FLAIR MR image.
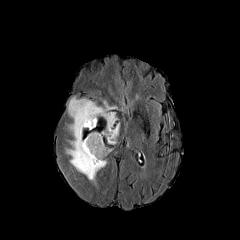
T1-weighted MR.
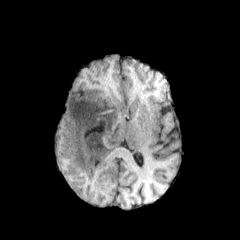
Post-contrast T1-weighted MRI.
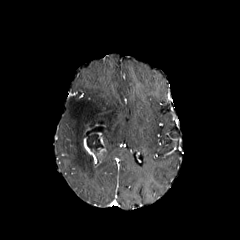
T2-weighted MRI.
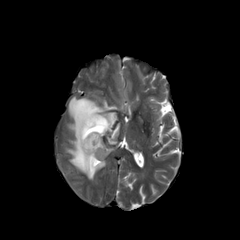
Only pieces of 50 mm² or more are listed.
enhancing tumor: bounding box [83, 132, 106, 166]
peritumoral edema: bounding box [65, 96, 119, 184]
necrotic tumor core: bounding box [87, 132, 103, 154]